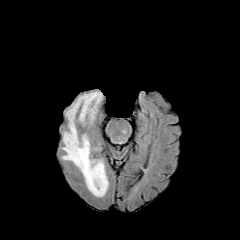
FLAIR MR.
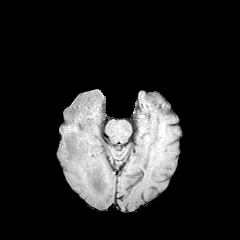
T1-weighted MR image of the same slice.
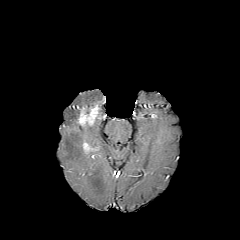
Post-contrast T1-weighted magnetic resonance of the same slice.
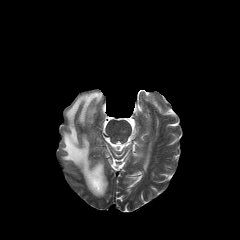
T2-weighted MR of the same slice.
Brain
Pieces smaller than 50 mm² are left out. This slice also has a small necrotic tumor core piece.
{
  "peritumoral_edema": [
    "left=61, top=91, right=108, bottom=197"
  ],
  "enhancing_tumor": [
    "left=77, top=105, right=99, bottom=126",
    "left=82, top=141, right=96, bottom=153"
  ]
}